FLAIR MRI.
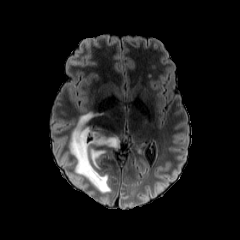
T1-weighted MR image.
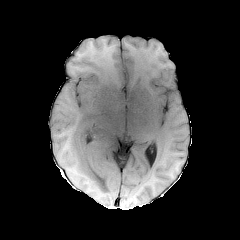
Post-contrast T1-weighted MR.
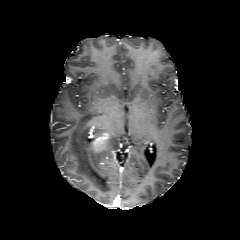
T2-weighted MR image.
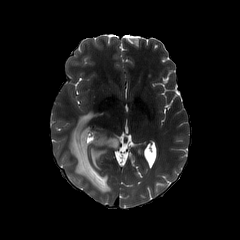
Brain, Axial view
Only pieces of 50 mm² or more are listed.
The peritumoral edema lies within box(69, 112, 119, 192). The largest enhancing tumor region is at box(93, 133, 108, 149).